Head
FLAIR MRI.
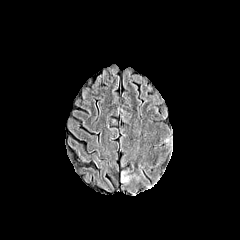
T1-weighted MR.
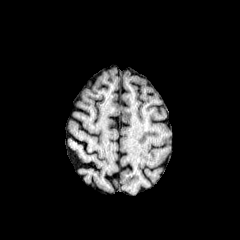
Post-contrast T1-weighted MRI.
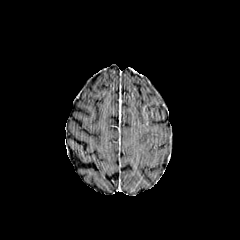
T2-weighted MR.
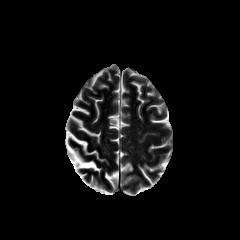
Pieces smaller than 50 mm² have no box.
peritumoral edema: 121,171,131,183